FLAIR MR.
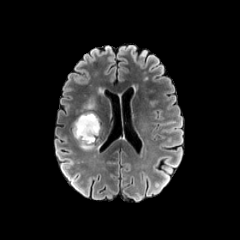
T1-weighted MRI.
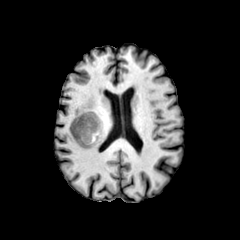
Post-contrast T1-weighted MRI.
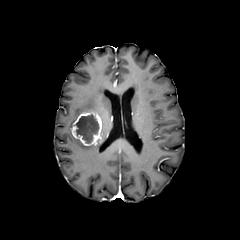
T2-weighted MR image.
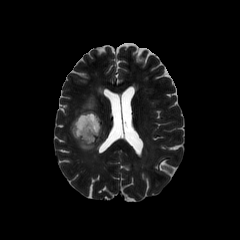
Axial plane
The necrotic tumor core appears at <box>76,115,98,143</box>. The enhancing tumor is located at <box>72,112,101,146</box>. 2 peritumoral edema regions appear at <box>79,142,94,149</box>, <box>81,97,95,112</box>.